Axial view, Image width 240 mm, Slice 102 of 155
FLAIR MR image.
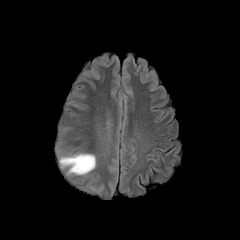
T1-weighted MR image.
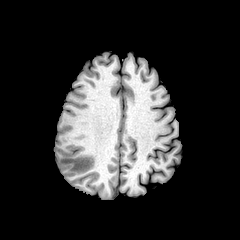
Post-contrast T1-weighted MR image.
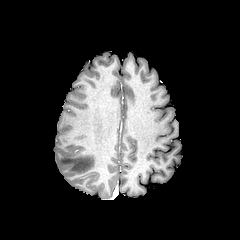
T2-weighted magnetic resonance.
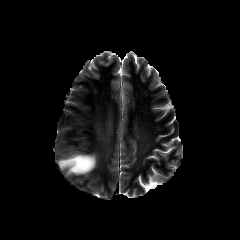
peritumoral_edema:
  - [59,154,95,174]